Brain; 240x240 px; Slice index 66
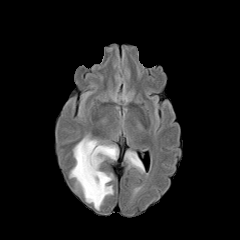
FLAIR MR image.
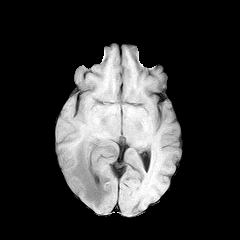
T1-weighted MR image.
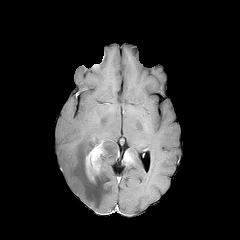
Same slice, post-contrast T1-weighted MR.
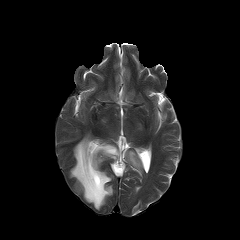
T2-weighted MR.
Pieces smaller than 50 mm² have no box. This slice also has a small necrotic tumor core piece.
The 2 largest enhancing tumor regions are bounded by [x1=123, y1=152, x2=134, y2=164], [x1=85, y1=144, x2=103, y2=182]. 2 peritumoral edema regions are bounded by [x1=127, y1=151, x2=144, y2=171], [x1=70, y1=136, x2=118, y2=209].